240x240 px. Brain.
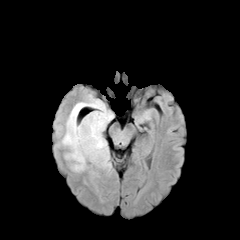
FLAIR magnetic resonance.
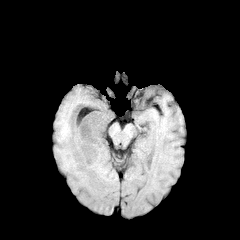
T1-weighted MR image.
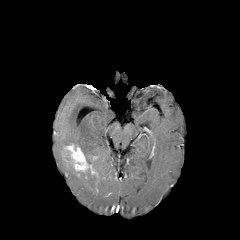
Same slice, post-contrast T1-weighted MR.
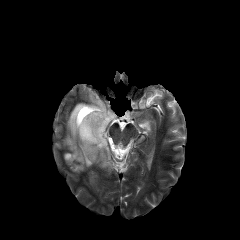
T2-weighted MRI.
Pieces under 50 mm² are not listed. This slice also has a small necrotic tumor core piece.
Annotated regions:
* peritumoral edema: (x1=61, y1=94, x2=114, y2=171), (x1=64, y1=150, x2=75, y2=171)
* enhancing tumor: (x1=65, y1=144, x2=95, y2=174)